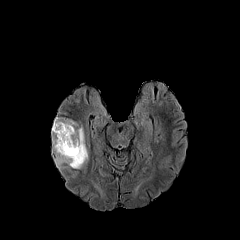
FLAIR magnetic resonance.
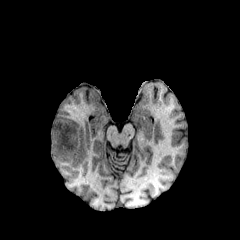
T1-weighted MRI.
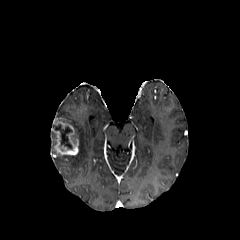
Post-contrast T1-weighted MR of the same slice.
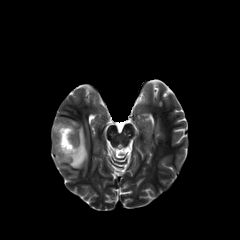
Same slice, T2-weighted MR image.
Axial plane | Head
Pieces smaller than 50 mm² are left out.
{"necrotic_tumor_core": ["(x1=53, y1=124, x2=72, y2=149)"], "enhancing_tumor": ["(x1=51, y1=118, x2=78, y2=155)"], "peritumoral_edema": ["(x1=52, y1=119, x2=88, y2=168)"]}